FLAIR MR image.
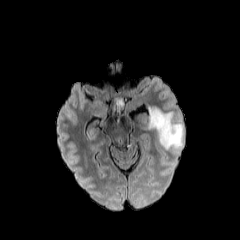
T1-weighted magnetic resonance.
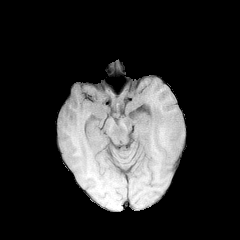
Post-contrast T1-weighted MR image.
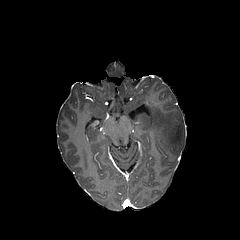
T2-weighted magnetic resonance.
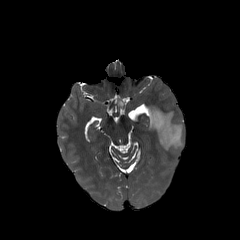
Axial slice, Brain
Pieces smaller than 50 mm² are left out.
peritumoral edema — 148, 107, 183, 152